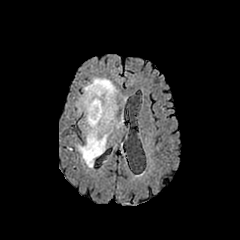
FLAIR MR image.
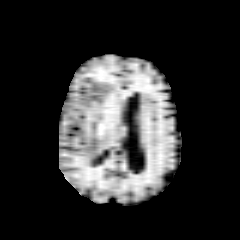
Same slice, T1-weighted MR.
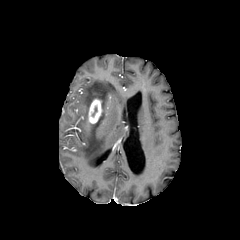
Post-contrast T1-weighted MRI of the same slice.
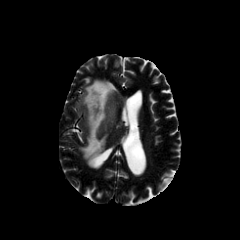
T2-weighted MR image of the same slice.
Head.
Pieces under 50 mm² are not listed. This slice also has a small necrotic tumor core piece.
The enhancing tumor is located at bbox=[88, 99, 102, 124]. The largest peritumoral edema region is at bbox=[76, 78, 122, 166].